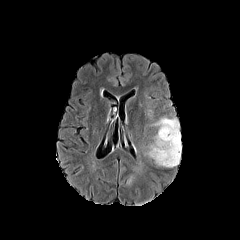
FLAIR MRI.
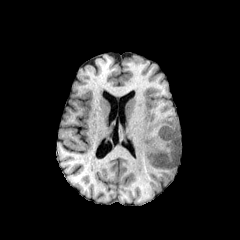
T1-weighted magnetic resonance.
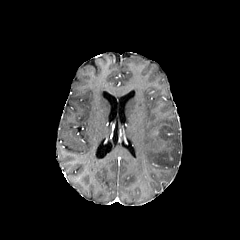
Same slice, post-contrast T1-weighted MR.
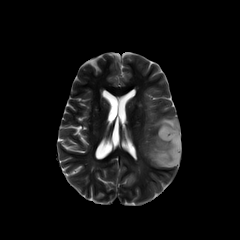
T2-weighted MR image of the same slice.
Axial view
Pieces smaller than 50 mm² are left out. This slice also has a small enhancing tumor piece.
- peritumoral edema: bbox=[145, 116, 181, 167]